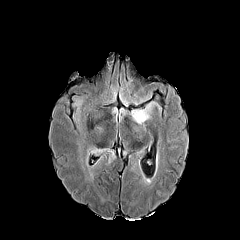
FLAIR MR.
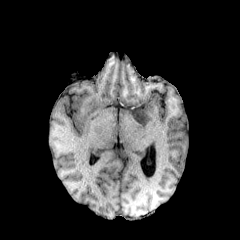
T1-weighted magnetic resonance.
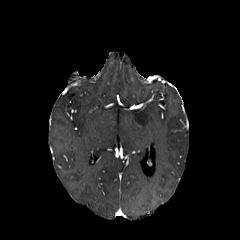
Post-contrast T1-weighted MR of the same slice.
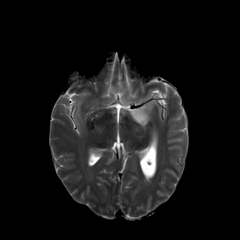
Same slice, T2-weighted MRI.
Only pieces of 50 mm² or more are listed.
<segmentation>
  <peritumoral_edema><box>90,148,110,154</box>, <box>130,102,156,124</box></peritumoral_edema>
</segmentation>